Axial view; Image size 240x240; Slice index 111; Head
FLAIR MRI.
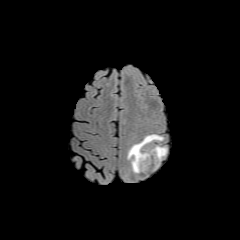
T1-weighted MR.
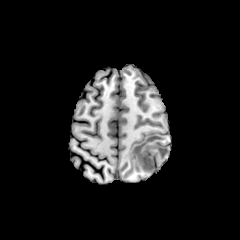
Post-contrast T1-weighted magnetic resonance.
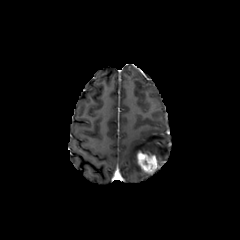
T2-weighted MRI.
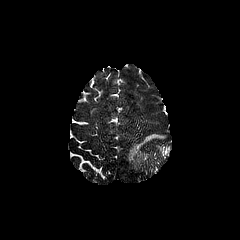
{"peritumoral_edema": ["x1=127, y1=134, x2=163, y2=172", "x1=152, y1=146, x2=167, y2=162"], "enhancing_tumor": ["x1=132, y1=149, x2=158, y2=173"]}